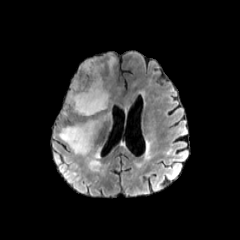
FLAIR MR image.
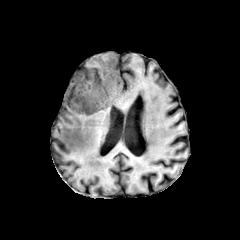
T1-weighted MRI of the same slice.
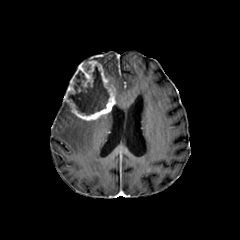
Post-contrast T1-weighted MR image.
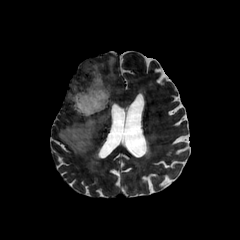
T2-weighted MR.
Axial view; Image size 240x240
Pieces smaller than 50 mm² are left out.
<segmentation>
  <necrotic_tumor_core>(68,66,109,114)</necrotic_tumor_core>
  <peritumoral_edema>(59,114,107,155), (108,56,115,76)</peritumoral_edema>
  <enhancing_tumor>(64,60,115,120)</enhancing_tumor>
</segmentation>